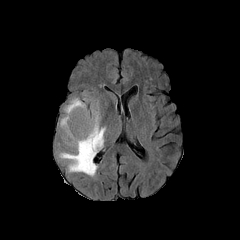
FLAIR MRI.
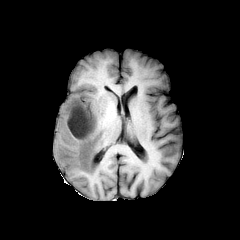
Same slice, T1-weighted MR.
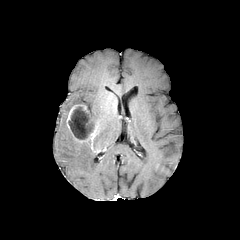
Post-contrast T1-weighted MR image.
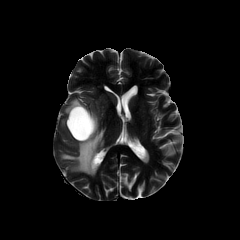
T2-weighted MR of the same slice.
Axial plane | Head
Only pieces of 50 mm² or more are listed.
enhancing tumor: (left=66, top=104, right=96, bottom=142) | peritumoral edema: (left=59, top=98, right=105, bottom=176) | necrotic tumor core: (left=68, top=106, right=94, bottom=139)